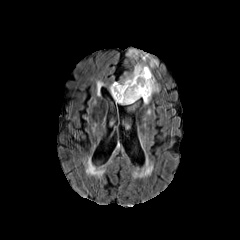
FLAIR magnetic resonance.
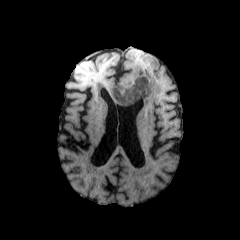
T1-weighted MR image.
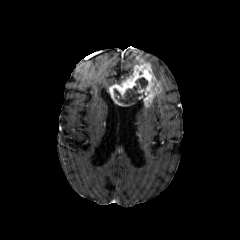
Same slice, post-contrast T1-weighted magnetic resonance.
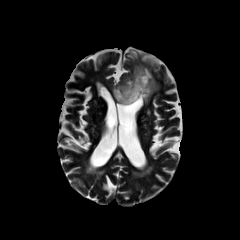
T2-weighted MR image of the same slice.
Axial slice. Brain.
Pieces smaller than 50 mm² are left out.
Segmented structures:
* enhancing tumor: bbox(109, 60, 159, 106)
* peritumoral edema: bbox(128, 51, 158, 68)
* necrotic tumor core: bbox(114, 77, 147, 104)